FLAIR MRI.
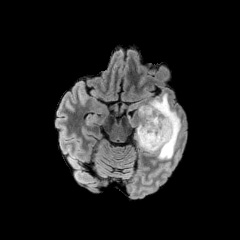
T1-weighted MR.
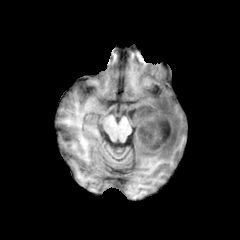
Post-contrast T1-weighted MRI.
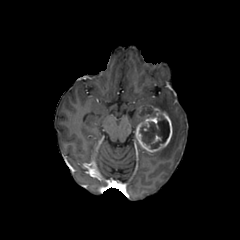
T2-weighted MR image.
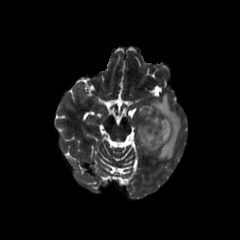
Axial slice; 240x240
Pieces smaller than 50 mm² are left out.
The peritumoral edema is bounded by box(139, 93, 181, 159). The 2 largest enhancing tumor regions are bounded by box(151, 134, 161, 143); box(135, 105, 172, 152). The largest necrotic tumor core region is located at box(140, 115, 169, 148).